Brain; Axial slice
FLAIR magnetic resonance.
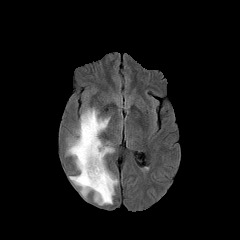
T1-weighted MRI.
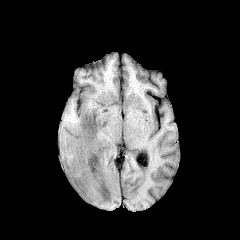
Post-contrast T1-weighted MRI.
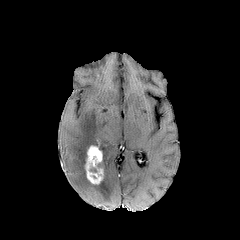
T2-weighted MR image.
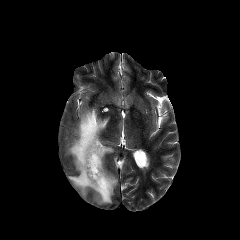
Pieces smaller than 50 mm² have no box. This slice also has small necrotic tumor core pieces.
{
  "peritumoral_edema": [
    "l=67, t=108, r=118, b=204"
  ],
  "enhancing_tumor": [
    "l=85, t=145, r=103, b=184"
  ]
}